FLAIR MR.
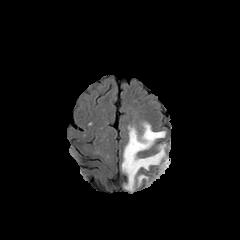
T1-weighted MR image.
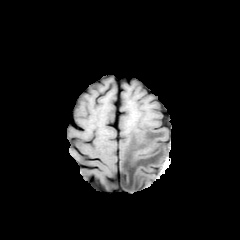
Post-contrast T1-weighted magnetic resonance.
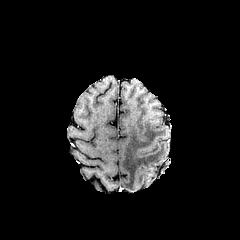
T2-weighted magnetic resonance.
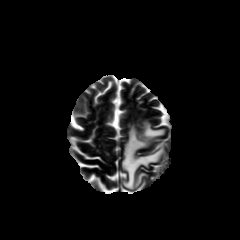
240x240 px
peritumoral_edema:
  - bbox=[121, 122, 167, 191]